FLAIR MR image.
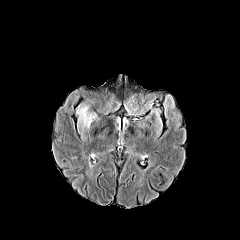
T1-weighted magnetic resonance.
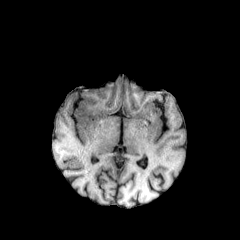
Post-contrast T1-weighted MRI.
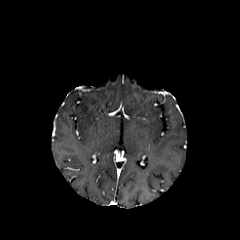
T2-weighted MR image.
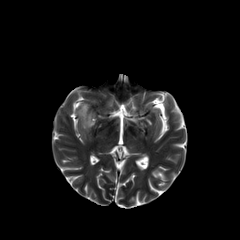
Image size 240x240. Head.
peritumoral_edema:
  - (left=77, top=105, right=94, bottom=127)